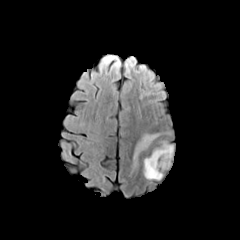
FLAIR MR image.
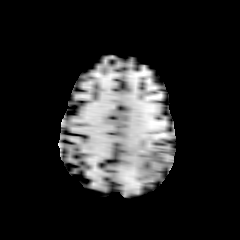
T1-weighted MRI of the same slice.
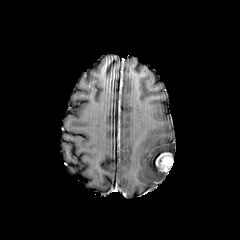
Post-contrast T1-weighted MR.
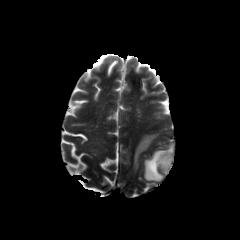
T2-weighted MR.
Axial view. Head.
The enhancing tumor is bounded by (156, 153, 172, 171). 2 peritumoral edema regions appear at (144, 145, 173, 180), (133, 135, 156, 168).